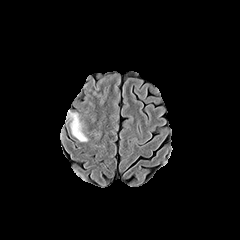
FLAIR MR image.
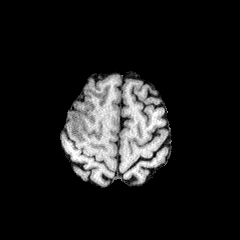
T1-weighted MRI.
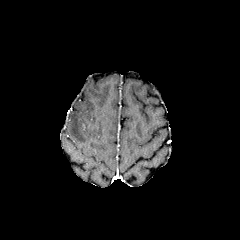
Same slice, post-contrast T1-weighted MR image.
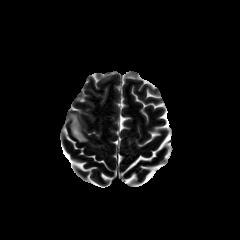
T2-weighted MR.
The peritumoral edema is at [69,113,87,141].